FLAIR MR image.
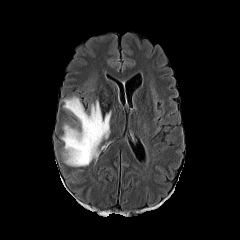
T1-weighted MR.
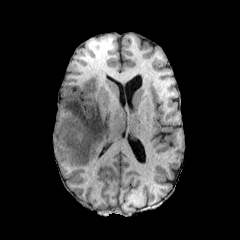
Post-contrast T1-weighted MR image.
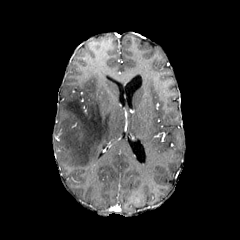
T2-weighted MR image.
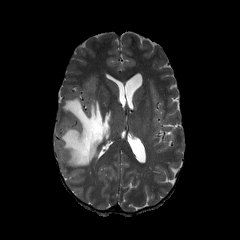
Axial slice
peritumoral_edema:
  - bbox=[61, 97, 112, 166]